FLAIR magnetic resonance.
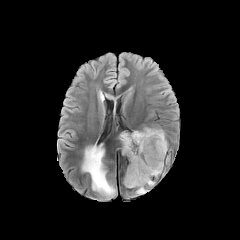
T1-weighted MRI.
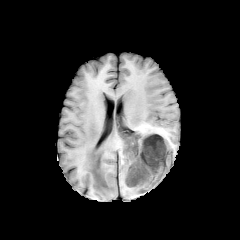
Post-contrast T1-weighted magnetic resonance.
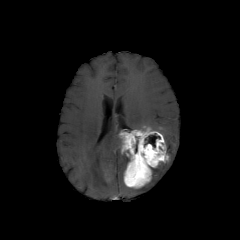
T2-weighted MRI.
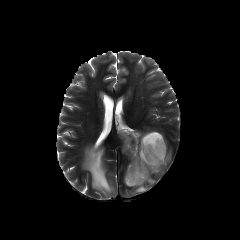
Head
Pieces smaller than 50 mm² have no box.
enhancing_tumor:
  - <box>119,128,169,188</box>
peritumoral_edema:
  - <box>135,179,155,193</box>
  - <box>152,162,168,177</box>
  - <box>151,128,167,150</box>
  - <box>82,144,116,198</box>
necrotic_tumor_core:
  - <box>145,134,160,147</box>